Slice 76 of 155 | Axial slice | Image width 240 mm | Image size 240x240
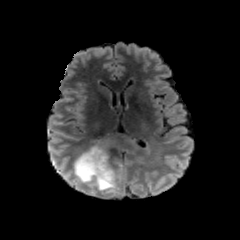
FLAIR MR.
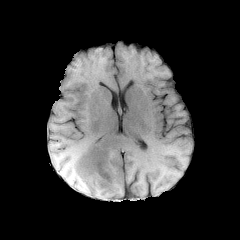
Same slice, T1-weighted MR image.
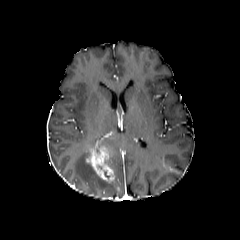
Post-contrast T1-weighted magnetic resonance of the same slice.
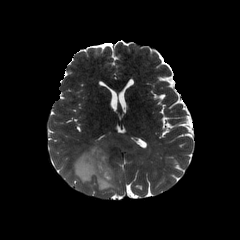
T2-weighted MRI of the same slice.
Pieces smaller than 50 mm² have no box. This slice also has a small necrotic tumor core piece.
peritumoral edema: (left=72, top=142, right=124, bottom=192) | enhancing tumor: (left=86, top=147, right=115, bottom=183)